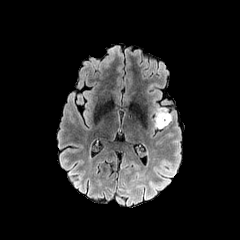
FLAIR MRI.
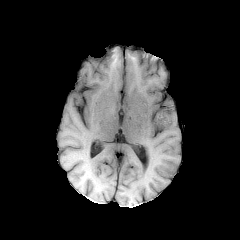
T1-weighted MR image of the same slice.
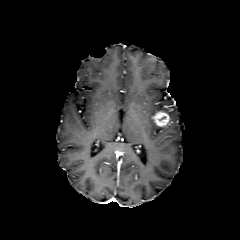
Same slice, post-contrast T1-weighted magnetic resonance.
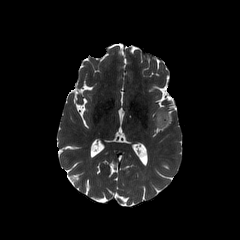
T2-weighted MRI.
Axial view, Brain, Image size 240x240
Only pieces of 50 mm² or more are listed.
The enhancing tumor is bounded by [154, 111, 171, 126]. The largest peritumoral edema region is located at [155, 109, 172, 121].